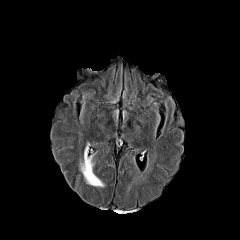
FLAIR MRI.
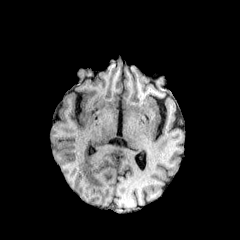
Same slice, T1-weighted MR image.
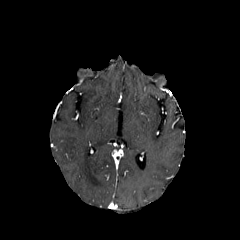
Same slice, post-contrast T1-weighted MR.
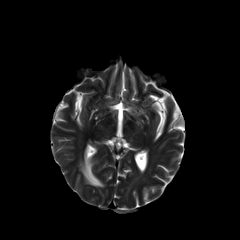
T2-weighted MR image.
Axial plane, Image size 240x240
<segmentation>
  <peritumoral_edema>x1=80 y1=147 x2=104 y2=187</peritumoral_edema>
</segmentation>